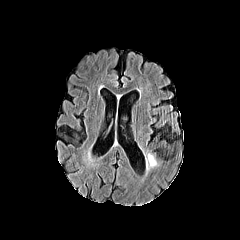
FLAIR MR image.
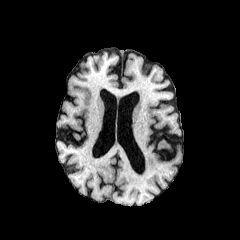
Same slice, T1-weighted MRI.
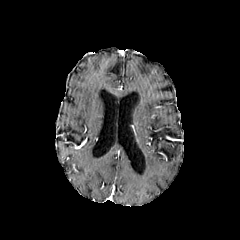
Post-contrast T1-weighted MR image.
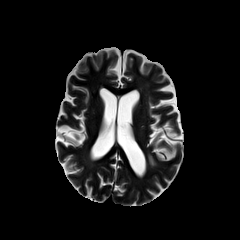
T2-weighted MR image of the same slice.
Image size 240x240
Segmented structures:
• peritumoral edema: rect(147, 153, 157, 167)